FLAIR MRI.
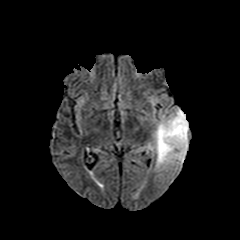
T1-weighted magnetic resonance.
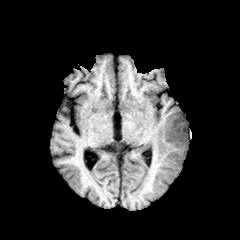
Post-contrast T1-weighted magnetic resonance.
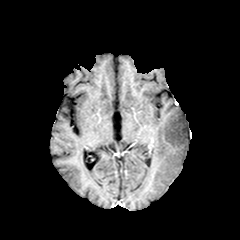
T2-weighted MRI.
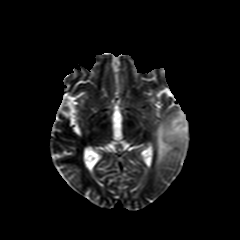
240x240; Brain
Annotated regions:
• peritumoral edema: x1=153 y1=108 x2=188 y2=168